FLAIR magnetic resonance.
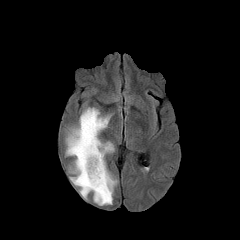
T1-weighted MR image.
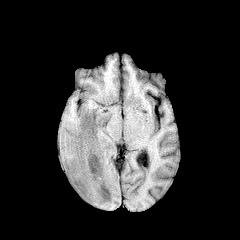
Post-contrast T1-weighted MR.
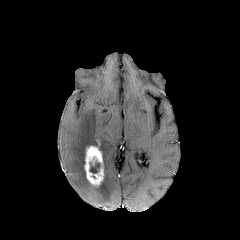
T2-weighted MRI.
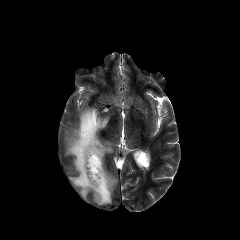
Axial view.
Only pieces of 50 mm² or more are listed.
{"enhancing_tumor": ["(x1=84, y1=145, x2=104, y2=186)"], "peritumoral_edema": ["(x1=65, y1=107, x2=117, y2=205)"], "necrotic_tumor_core": ["(x1=90, y1=162, x2=100, y2=173)"]}